FLAIR magnetic resonance.
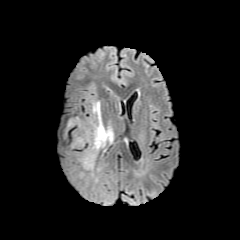
T1-weighted MR.
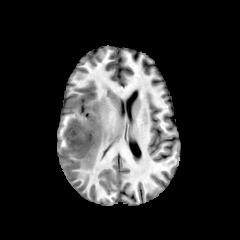
Post-contrast T1-weighted magnetic resonance.
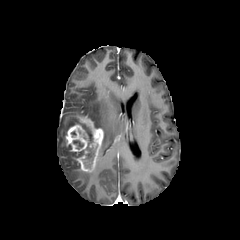
T2-weighted magnetic resonance.
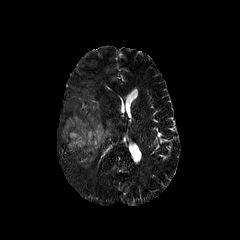
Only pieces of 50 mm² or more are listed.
enhancing tumor: 65,115,103,171 | necrotic tumor core: 79,123,92,142; 84,143,94,167; 73,140,83,149 | peritumoral edema: 67,117,77,130; 89,99,113,147